Slice 92 of 155; 240x240 px; Head
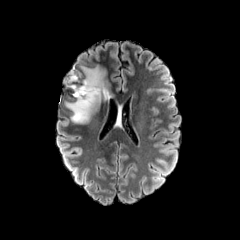
FLAIR MRI.
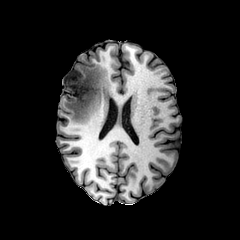
Same slice, T1-weighted MR.
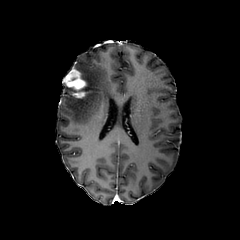
Post-contrast T1-weighted MRI.
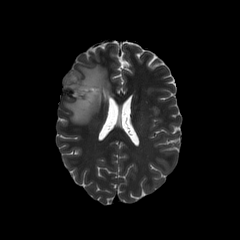
T2-weighted magnetic resonance.
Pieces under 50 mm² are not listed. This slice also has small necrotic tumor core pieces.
{
  "enhancing_tumor": [
    "rect(63, 66, 87, 98)"
  ],
  "peritumoral_edema": [
    "rect(65, 66, 110, 123)"
  ]
}